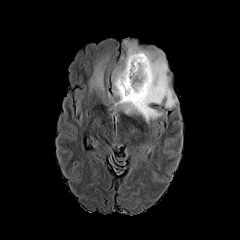
FLAIR magnetic resonance.
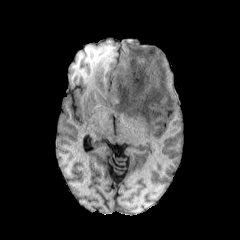
T1-weighted MRI of the same slice.
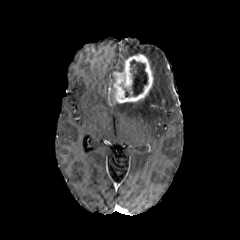
Post-contrast T1-weighted MRI.
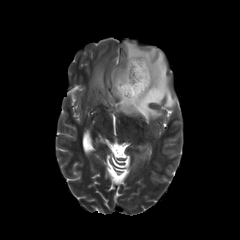
T2-weighted magnetic resonance.
Axial view. Brain.
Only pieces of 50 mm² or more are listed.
enhancing tumor at (x1=113, y1=53, x2=153, y2=103)
peritumoral edema at (x1=88, y1=54, x2=116, y2=105), (x1=111, y1=41, x2=177, y2=122)
necrotic tumor core at (x1=130, y1=60, x2=147, y2=96)